Head, Slice 87 of 155
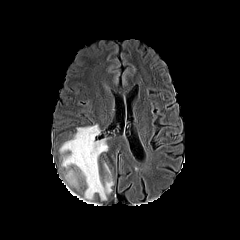
FLAIR MR image.
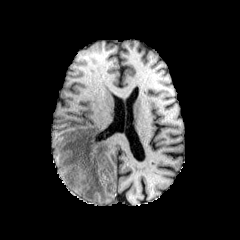
Same slice, T1-weighted MR image.
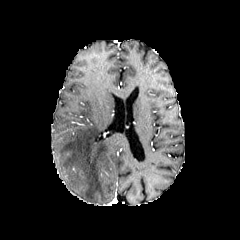
Post-contrast T1-weighted MR.
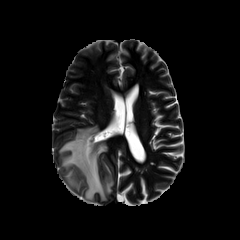
Same slice, T2-weighted MRI.
{
  "peritumoral_edema": [
    {"x1": 66, "y1": 170, "x2": 78, "y2": 188},
    {"x1": 59, "y1": 124, "x2": 113, "y2": 201}
  ]
}